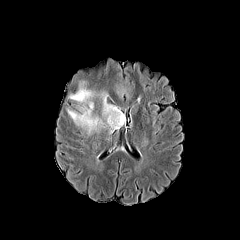
FLAIR magnetic resonance.
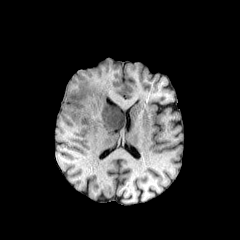
T1-weighted MR of the same slice.
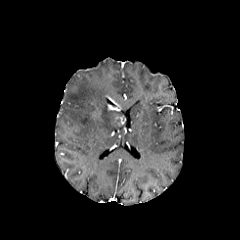
Post-contrast T1-weighted MR image of the same slice.
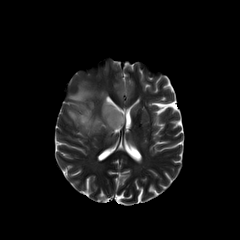
Same slice, T2-weighted MR.
The peritumoral edema is bounded by <box>67,80,122,134</box>. 2 enhancing tumor regions are bounded by <box>107,104,119,111</box>, <box>114,115,125,125</box>.